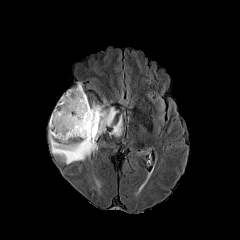
FLAIR magnetic resonance.
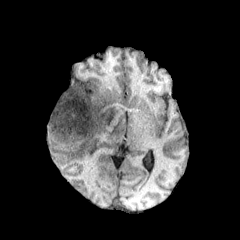
T1-weighted MR.
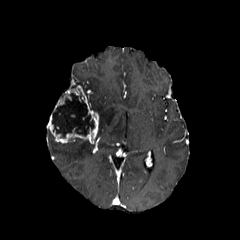
Post-contrast T1-weighted MR image of the same slice.
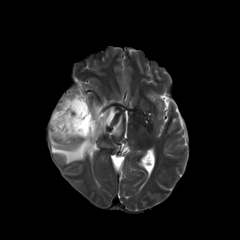
T2-weighted MRI.
240x240 px; Axial view
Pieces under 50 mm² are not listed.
The largest enhancing tumor region appears at rect(47, 85, 99, 144). The necrotic tumor core is bounded by rect(52, 93, 94, 137). The 3 largest peritumoral edema regions appear at rect(109, 115, 122, 136); rect(91, 101, 118, 141); rect(49, 130, 95, 164).